Image size 240x240; Brain
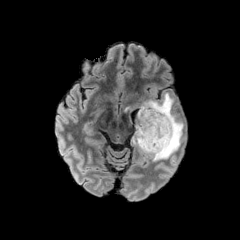
FLAIR MR image.
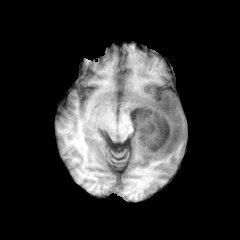
Same slice, T1-weighted MR image.
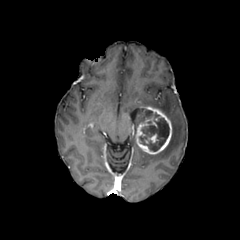
Post-contrast T1-weighted MRI of the same slice.
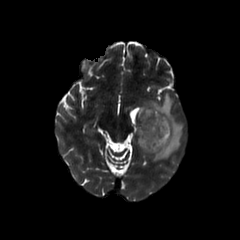
T2-weighted magnetic resonance of the same slice.
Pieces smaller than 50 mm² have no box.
The largest peritumoral edema region is located at <bbox>138, 93, 184, 161</bbox>. 2 enhancing tumor regions appear at <bbox>145, 134, 158, 143</bbox>, <bbox>136, 106, 172, 154</bbox>. The 2 largest necrotic tumor core regions are located at <bbox>139, 118, 169, 151</bbox>, <bbox>143, 110, 152, 119</bbox>.